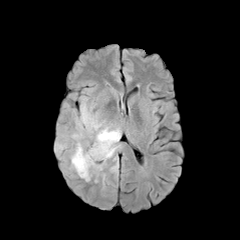
FLAIR MRI.
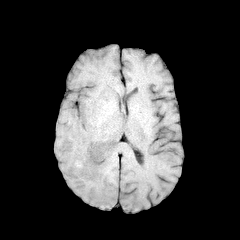
T1-weighted magnetic resonance of the same slice.
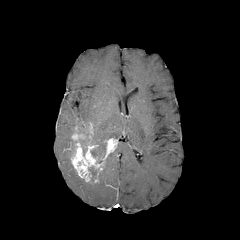
Same slice, post-contrast T1-weighted MR image.
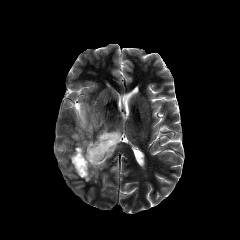
T2-weighted magnetic resonance of the same slice.
Head
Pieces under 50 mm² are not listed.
Findings:
• peritumoral edema: region(72, 102, 121, 156); region(105, 143, 121, 166); region(55, 140, 66, 152); region(111, 162, 118, 172)
• enhancing tumor: region(70, 127, 118, 182)
• necrotic tumor core: region(89, 167, 97, 178)